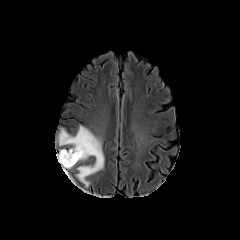
FLAIR MR image.
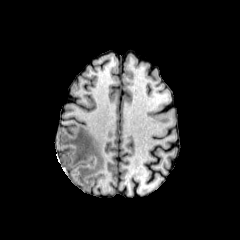
T1-weighted MR.
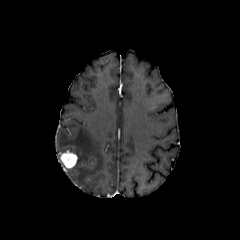
Post-contrast T1-weighted MR image.
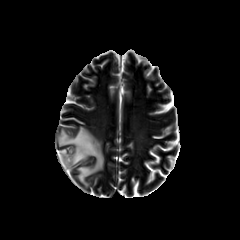
T2-weighted MR image of the same slice.
240x240
enhancing tumor: 59, 152, 77, 170 | peritumoral edema: 57, 125, 104, 187